Head, Axial slice
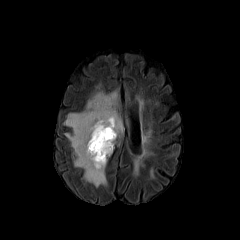
FLAIR magnetic resonance.
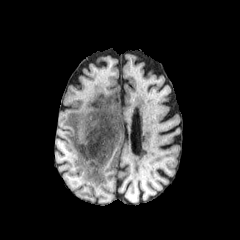
T1-weighted MR image of the same slice.
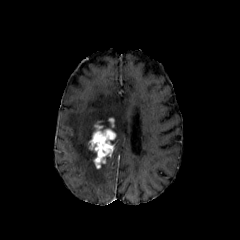
Same slice, post-contrast T1-weighted MRI.
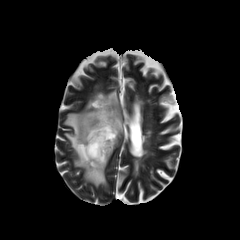
T2-weighted MR of the same slice.
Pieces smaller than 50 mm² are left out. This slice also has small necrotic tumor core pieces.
The enhancing tumor is located at x1=88, y1=118, x2=115, y2=168. The largest peritumoral edema region is located at x1=63, y1=91, x2=124, y2=187.